FLAIR magnetic resonance.
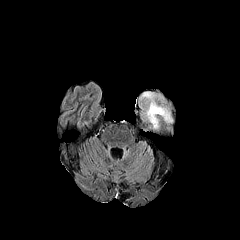
T1-weighted MRI.
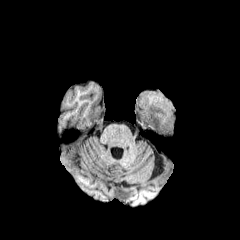
Post-contrast T1-weighted MR.
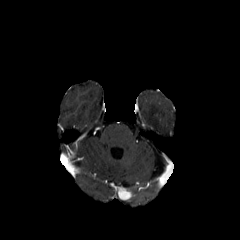
T2-weighted MR image.
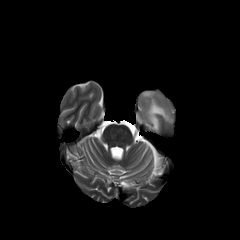
Head | Axial plane
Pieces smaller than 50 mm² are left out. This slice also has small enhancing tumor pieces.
{"peritumoral_edema": ["(left=139, top=92, right=172, bottom=130)"]}